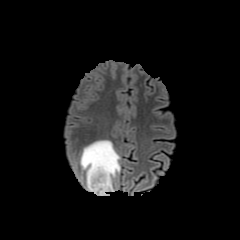
FLAIR magnetic resonance.
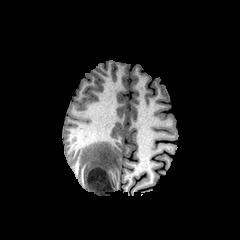
T1-weighted MR image of the same slice.
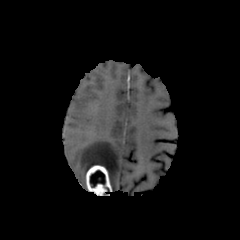
Post-contrast T1-weighted MR.
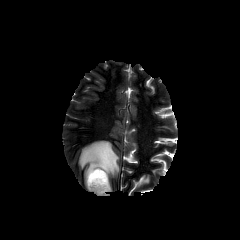
T2-weighted MRI.
Head
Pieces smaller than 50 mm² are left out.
peritumoral edema = [79,140,120,191]
enhancing tumor = [86,165,112,195]
necrotic tumor core = [90,170,105,187]